Head
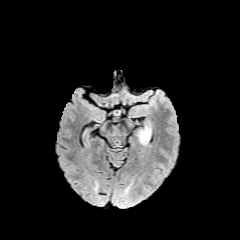
FLAIR MRI.
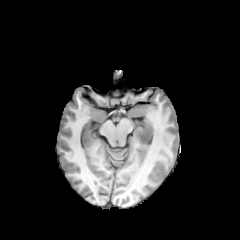
T1-weighted MRI.
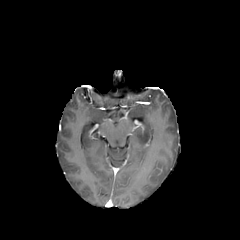
Same slice, post-contrast T1-weighted MRI.
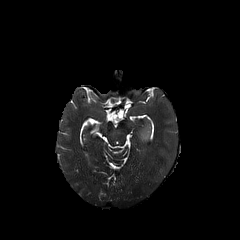
T2-weighted magnetic resonance.
peritumoral edema at rect(139, 128, 150, 143)